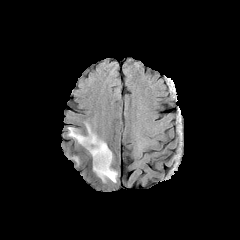
FLAIR MR.
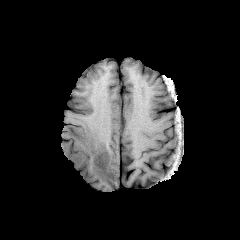
T1-weighted MR of the same slice.
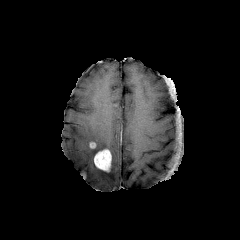
Post-contrast T1-weighted magnetic resonance.
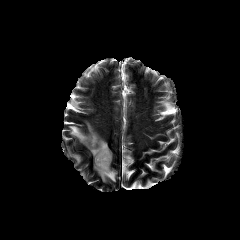
Same slice, T2-weighted MR.
Image size 240x240
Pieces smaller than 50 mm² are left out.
The largest peritumoral edema region is located at <bbox>68, 123, 117, 182</bbox>. The largest enhancing tumor region is bounded by <bbox>94, 149, 111, 171</bbox>.